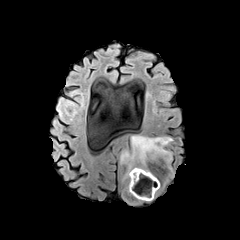
FLAIR magnetic resonance.
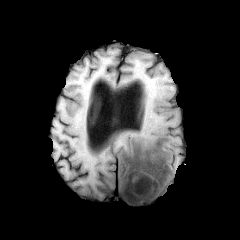
Same slice, T1-weighted magnetic resonance.
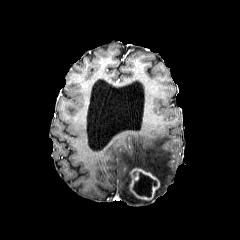
Post-contrast T1-weighted magnetic resonance.
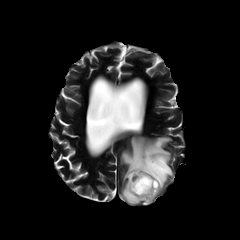
T2-weighted magnetic resonance.
Brain.
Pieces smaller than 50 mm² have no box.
peritumoral edema — region(120, 135, 174, 204)
enhancing tumor — region(129, 168, 159, 200)
necrotic tumor core — region(133, 172, 156, 197)